Axial plane.
FLAIR MR.
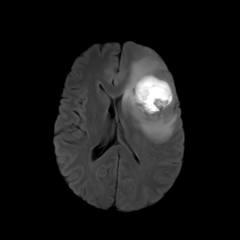
T1-weighted MRI.
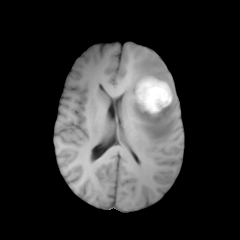
Post-contrast T1-weighted MRI.
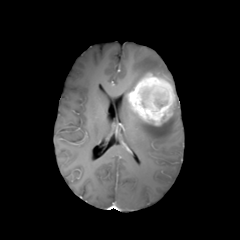
T2-weighted MR image.
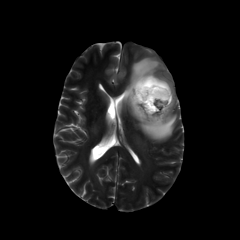
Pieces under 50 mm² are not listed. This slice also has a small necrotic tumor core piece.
peritumoral edema = box=[122, 50, 177, 142]
enhancing tumor = box=[127, 73, 175, 125]